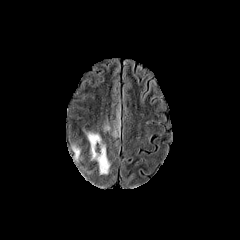
FLAIR MR image.
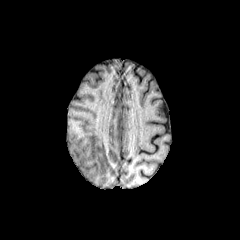
Same slice, T1-weighted magnetic resonance.
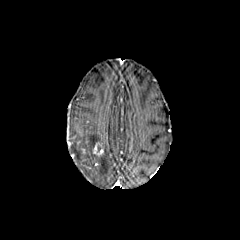
Post-contrast T1-weighted magnetic resonance of the same slice.
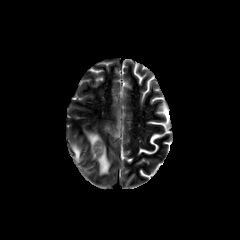
T2-weighted MR image.
Brain; 240x240
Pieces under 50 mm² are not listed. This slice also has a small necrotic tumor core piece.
Annotated regions:
- enhancing tumor: x1=93, y1=142, x2=103, y2=155
- peritumoral edema: x1=86, y1=132, x2=110, y2=174; x1=113, y1=114, x2=120, y2=137; x1=72, y1=145, x2=81, y2=161